Head | Image width 240 mm, 1.00 mm slice spacing | Axial slice | Slice 123 of 155
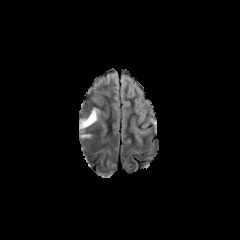
FLAIR MR image.
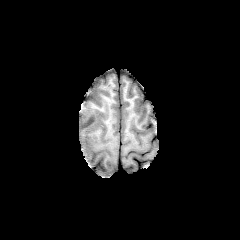
T1-weighted MR.
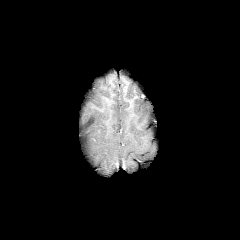
Post-contrast T1-weighted MR image.
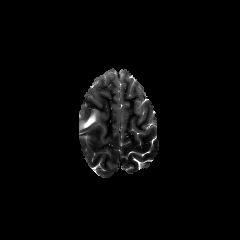
T2-weighted MR image of the same slice.
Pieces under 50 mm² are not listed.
The largest peritumoral edema region lies within <bbox>79, 108, 99, 130</bbox>.